Axial slice, Slice 74 of 155, Brain, Image covers 240 mm x 240 mm
FLAIR MRI.
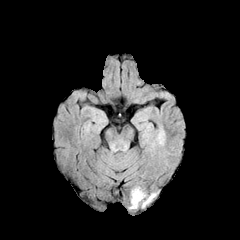
T1-weighted magnetic resonance.
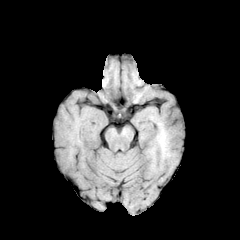
Post-contrast T1-weighted magnetic resonance.
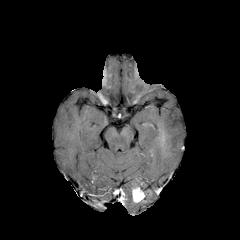
T2-weighted MR.
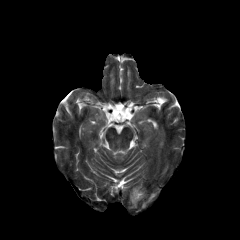
peritumoral edema: 142:193:156:207, 129:199:138:208
enhancing tumor: 132:186:146:202